Head | Axial slice | Slice 81 of 155
FLAIR MR.
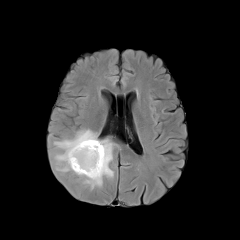
T1-weighted MR image.
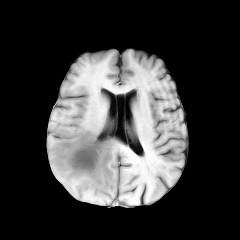
Post-contrast T1-weighted MR.
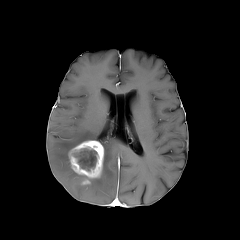
T2-weighted MR.
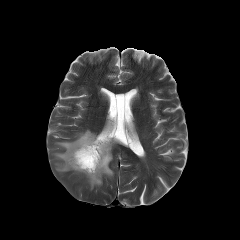
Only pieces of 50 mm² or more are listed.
necrotic_tumor_core:
  - <box>75,147,96,170</box>
enhancing_tumor:
  - <box>68,140,103,178</box>
peritumoral_edema:
  - <box>54,129,114,189</box>